FLAIR MR image.
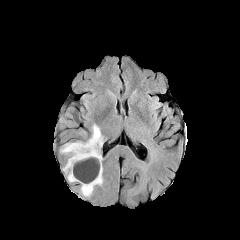
T1-weighted magnetic resonance.
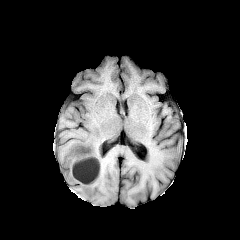
Post-contrast T1-weighted MR image.
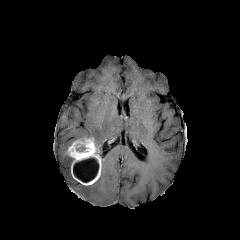
T2-weighted MR.
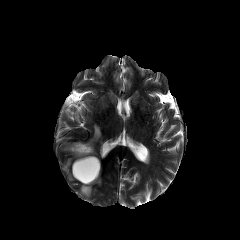
Image size 240x240 | Axial slice | Head
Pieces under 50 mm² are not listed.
enhancing tumor — 67, 138, 101, 185
peritumoral edema — 80, 168, 102, 196; 62, 157, 77, 182; 91, 124, 102, 159; 60, 143, 72, 153
necrotic tumor core — 73, 157, 99, 182